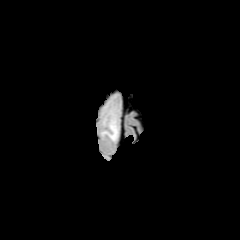
FLAIR MR image.
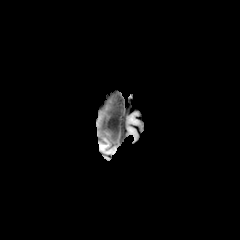
T1-weighted MR.
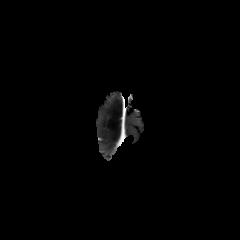
Post-contrast T1-weighted magnetic resonance.
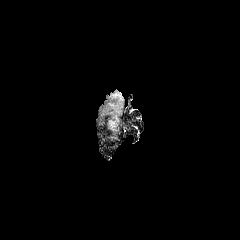
Same slice, T2-weighted magnetic resonance.
Head
peritumoral edema: 100,95,120,141